Brain; Axial view
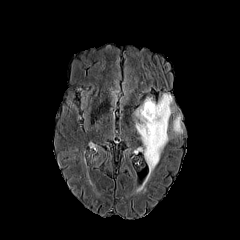
FLAIR MRI.
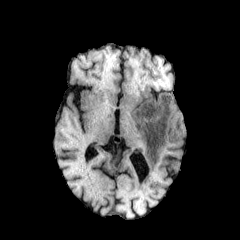
T1-weighted magnetic resonance.
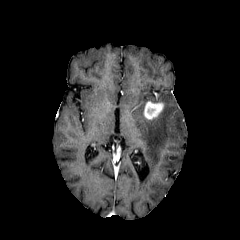
Post-contrast T1-weighted MR image.
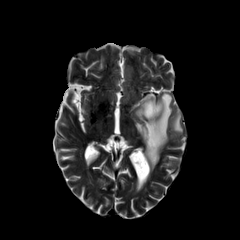
T2-weighted magnetic resonance.
peritumoral_edema:
  - 172, 113, 182, 133
  - 134, 93, 174, 172
enhancing_tumor:
  - 143, 101, 164, 120